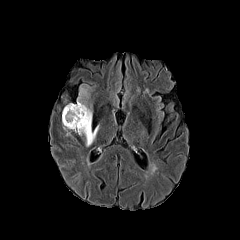
FLAIR MR image.
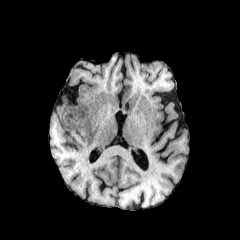
T1-weighted MR.
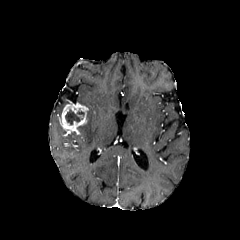
Post-contrast T1-weighted magnetic resonance.
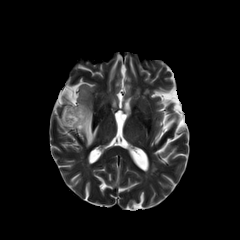
Same slice, T2-weighted MRI.
Brain
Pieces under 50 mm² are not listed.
Annotated regions:
- necrotic tumor core: (left=65, top=109, right=84, bottom=124)
- enhancing tumor: (left=62, top=103, right=88, bottom=134)
- peritumoral edema: (left=77, top=84, right=98, bottom=146)